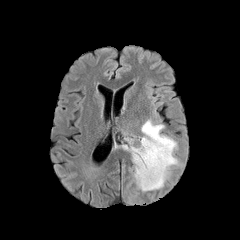
FLAIR magnetic resonance.
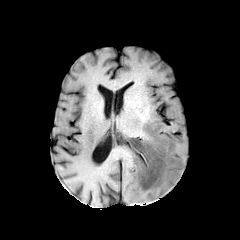
T1-weighted MR image of the same slice.
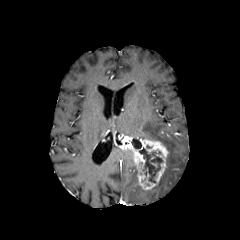
Post-contrast T1-weighted MRI.
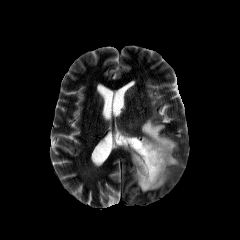
T2-weighted MRI.
240x240.
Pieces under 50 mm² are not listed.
The largest enhancing tumor region lies within <box>120,136,168,190</box>. The 2 largest peritumoral edema regions are bounded by <box>141,119,178,190</box>, <box>133,165,146,191</box>. The 2 largest necrotic tumor core regions appear at <box>131,138,141,148</box>, <box>139,148,162,182</box>.